FLAIR MRI.
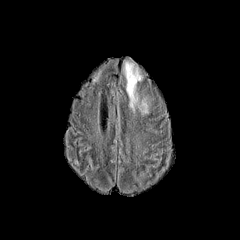
T1-weighted MR image.
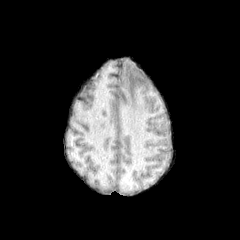
Post-contrast T1-weighted magnetic resonance.
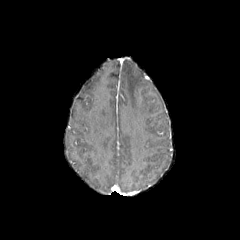
T2-weighted magnetic resonance.
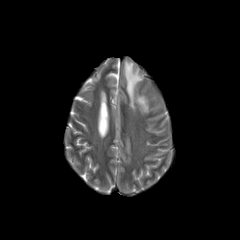
Image size 240x240. Axial view.
{
  "peritumoral_edema": [
    "[123, 60, 148, 113]"
  ]
}